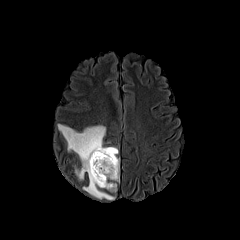
FLAIR MR image.
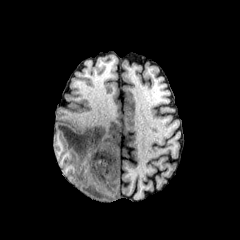
Same slice, T1-weighted MR image.
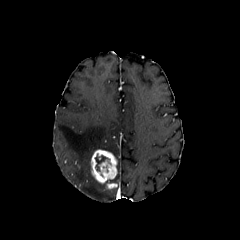
Post-contrast T1-weighted MR of the same slice.
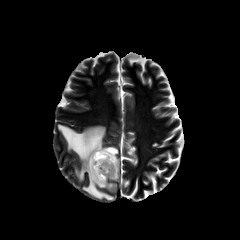
T2-weighted MR.
Brain | Image size 240x240 | Axial plane
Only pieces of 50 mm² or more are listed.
necrotic tumor core: 95:155:107:170 | peritumoral edema: 57:124:118:200, 110:158:119:181 | enhancing tumor: 90:149:117:190